FLAIR MRI.
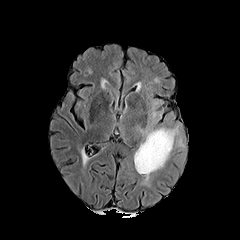
T1-weighted MR image.
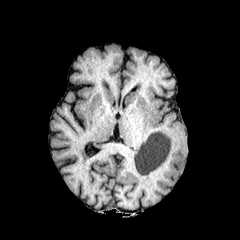
Post-contrast T1-weighted magnetic resonance.
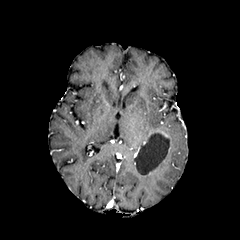
T2-weighted MR image.
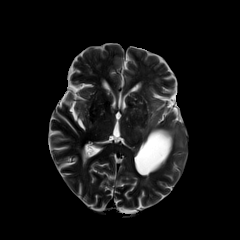
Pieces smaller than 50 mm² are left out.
The largest peritumoral edema region appears at bbox(135, 127, 178, 181). The largest enhancing tumor region is bounded by bbox(157, 131, 171, 152). The necrotic tumor core is at bbox(135, 132, 169, 174).